FLAIR MR.
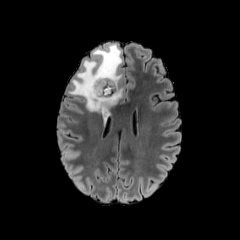
T1-weighted MRI.
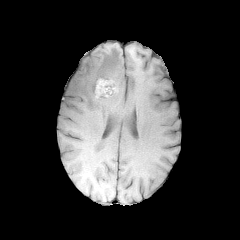
Post-contrast T1-weighted MRI.
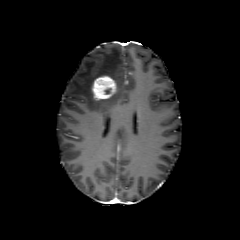
T2-weighted MR.
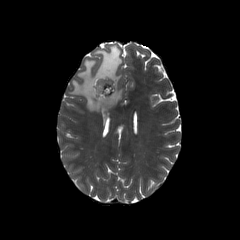
Brain; Image size 240x240
The peritumoral edema appears at [x1=68, y1=44, x2=123, y2=118]. The necrotic tumor core lies within [x1=97, y1=80, x2=112, y2=94]. The enhancing tumor is bounded by [x1=91, y1=75, x2=116, y2=100].